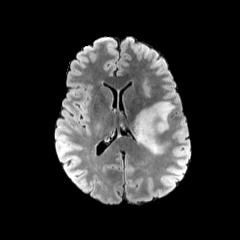
FLAIR MRI.
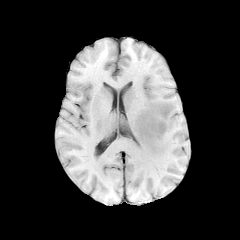
Same slice, T1-weighted magnetic resonance.
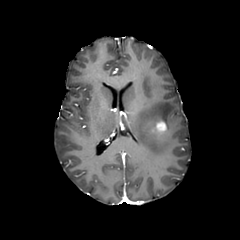
Same slice, post-contrast T1-weighted MRI.
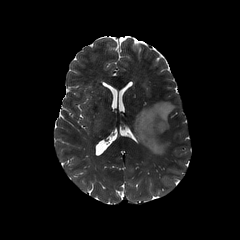
T2-weighted MR image of the same slice.
Axial view; Head
enhancing tumor = x1=151 y1=121 x2=166 y2=133
peritumoral edema = x1=133 y1=101 x2=174 y2=153